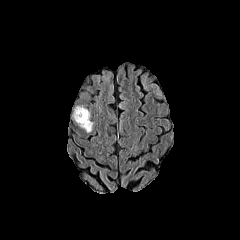
FLAIR MRI.
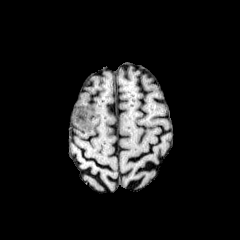
T1-weighted MR.
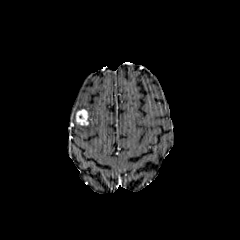
Post-contrast T1-weighted magnetic resonance.
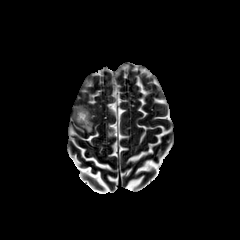
T2-weighted magnetic resonance.
Brain
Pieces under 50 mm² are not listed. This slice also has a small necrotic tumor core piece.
peritumoral_edema:
  - left=78, top=111, right=93, bottom=132
enhancing_tumor:
  - left=75, top=109, right=88, bottom=125